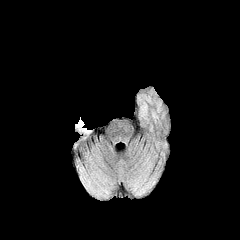
FLAIR magnetic resonance.
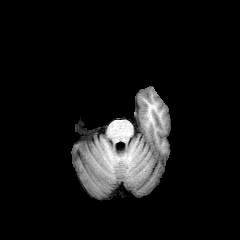
T1-weighted MR image.
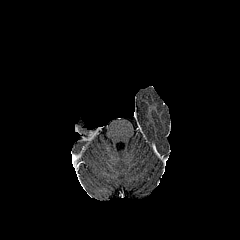
Same slice, post-contrast T1-weighted MR.
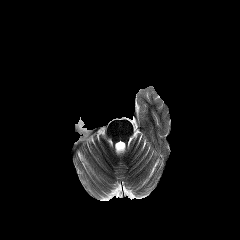
Same slice, T2-weighted MR.
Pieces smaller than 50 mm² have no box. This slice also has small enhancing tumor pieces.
The peritumoral edema lies within 76, 120, 86, 132.